FLAIR MR image.
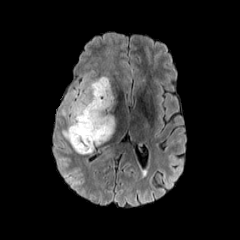
T1-weighted magnetic resonance.
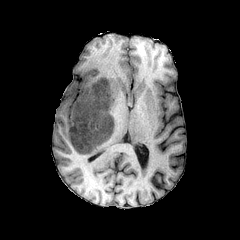
Post-contrast T1-weighted MR.
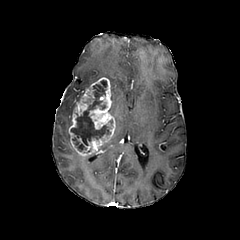
T2-weighted MRI.
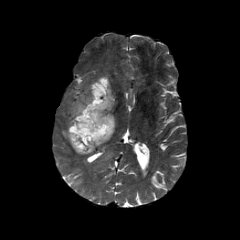
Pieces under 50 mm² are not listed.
{"peritumoral_edema": ["box=[58, 74, 110, 142]"], "enhancing_tumor": ["box=[68, 77, 115, 155]"], "necrotic_tumor_core": ["box=[71, 79, 110, 151]"]}